Image width 240 mm, Axial view
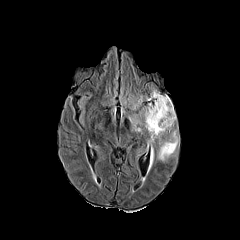
FLAIR magnetic resonance.
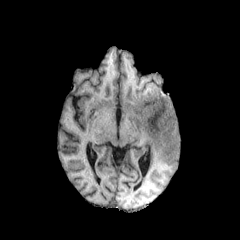
T1-weighted magnetic resonance.
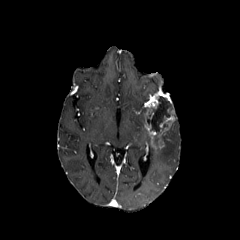
Post-contrast T1-weighted MRI.
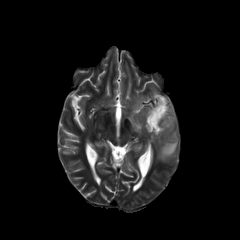
Same slice, T2-weighted MRI.
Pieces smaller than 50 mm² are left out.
necrotic_tumor_core:
  - left=147, top=96, right=172, bottom=134
enhancing_tumor:
  - left=144, top=91, right=176, bottom=148
peritumoral_edema:
  - left=134, top=96, right=143, bottom=107
  - left=130, top=117, right=142, bottom=131
  - left=157, top=122, right=179, bottom=161